Image width 240 mm, 1.00 mm slice spacing | Head | Image size 240x240 | Axial view
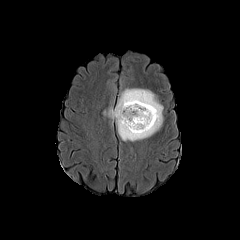
FLAIR MRI.
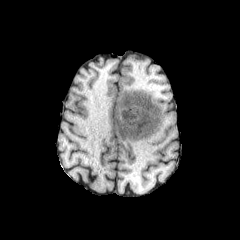
Same slice, T1-weighted MRI.
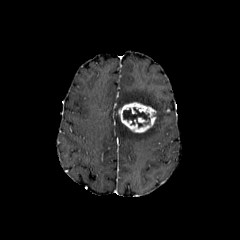
Same slice, post-contrast T1-weighted MR image.
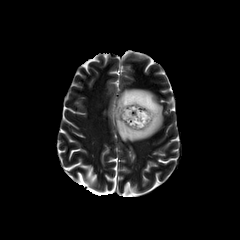
Same slice, T2-weighted MR.
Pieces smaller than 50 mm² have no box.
Annotated regions:
* enhancing tumor: [x1=116, y1=102, x2=156, y2=133]
* necrotic tumor core: [x1=123, y1=107, x2=149, y2=127]
* peritumoral edema: [x1=108, y1=89, x2=163, y2=141]